FLAIR MR.
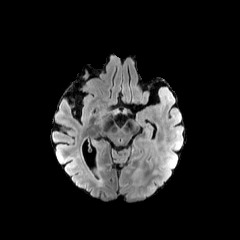
T1-weighted MR image.
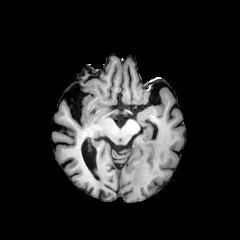
Post-contrast T1-weighted MR image.
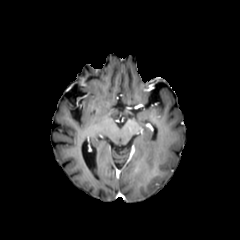
T2-weighted MR.
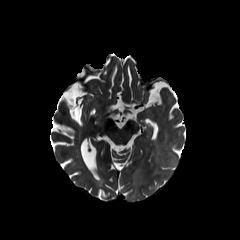
Axial slice
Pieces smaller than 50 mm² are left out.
The largest peritumoral edema region appears at 131 167 143 177.